FLAIR MRI.
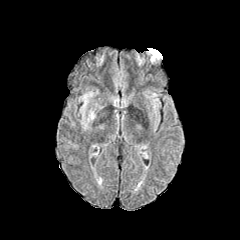
T1-weighted MR.
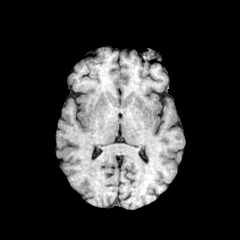
Post-contrast T1-weighted MR image.
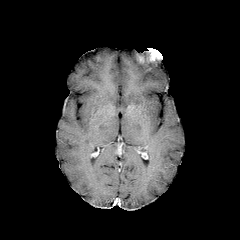
T2-weighted magnetic resonance.
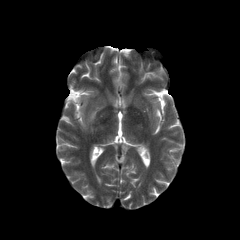
Axial view, Image size 240x240
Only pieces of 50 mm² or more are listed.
<segmentation>
  <peritumoral_edema>x1=79, y1=91, x2=102, y2=126</peritumoral_edema>
</segmentation>